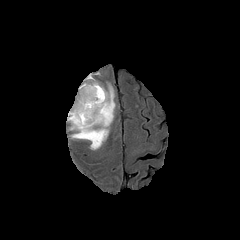
FLAIR MR.
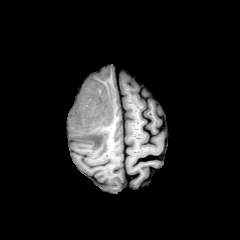
T1-weighted MR of the same slice.
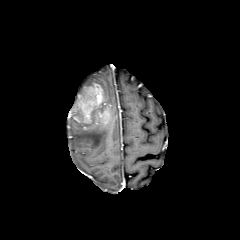
Same slice, post-contrast T1-weighted MR.
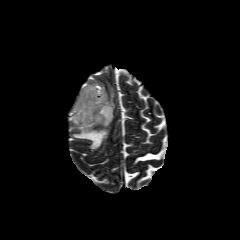
Same slice, T2-weighted MRI.
240x240 px | Axial slice
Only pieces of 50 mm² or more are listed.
Segmented structures:
• peritumoral edema: (68, 85, 115, 149)
• enhancing tumor: (69, 83, 111, 125)